Slice 103/155 | Brain
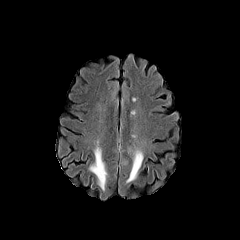
FLAIR MR image.
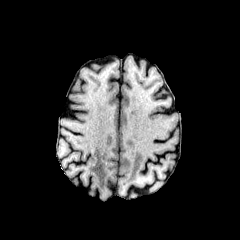
Same slice, T1-weighted MRI.
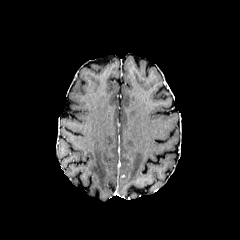
Post-contrast T1-weighted MR image.
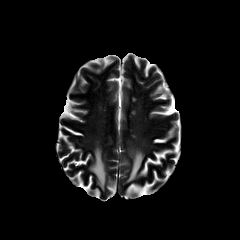
T2-weighted MR image.
peritumoral edema: 126,148,143,182; 89,145,107,190